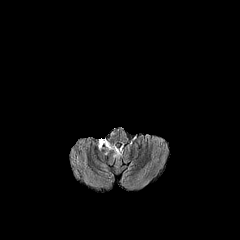
FLAIR MR image.
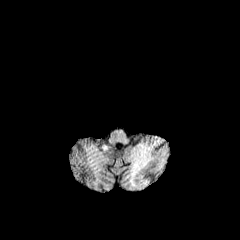
T1-weighted magnetic resonance of the same slice.
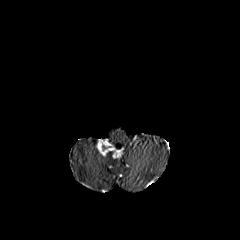
Post-contrast T1-weighted magnetic resonance.
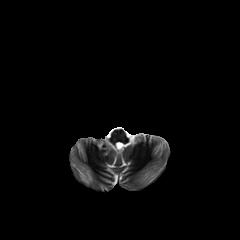
T2-weighted MR.
Head | Axial slice
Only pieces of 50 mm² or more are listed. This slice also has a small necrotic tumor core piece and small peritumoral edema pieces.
enhancing tumor: left=97, top=139, right=123, bottom=159